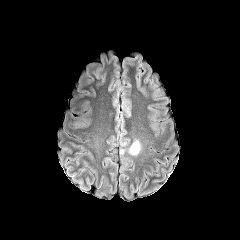
FLAIR MRI.
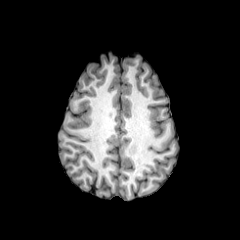
T1-weighted MRI of the same slice.
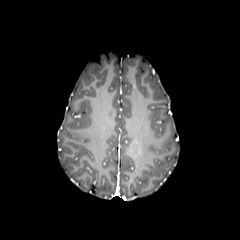
Post-contrast T1-weighted MRI.
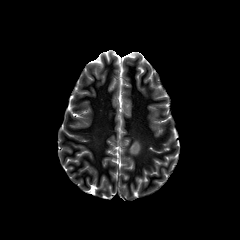
T2-weighted MRI.
Axial view
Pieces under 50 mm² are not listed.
peritumoral_edema:
  - rect(120, 138, 142, 156)